Axial view; 240x240 px
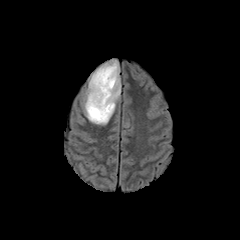
FLAIR MR.
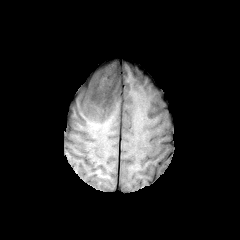
T1-weighted magnetic resonance.
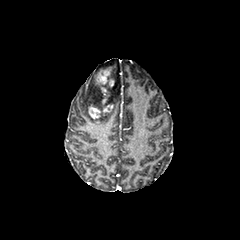
Post-contrast T1-weighted MR.
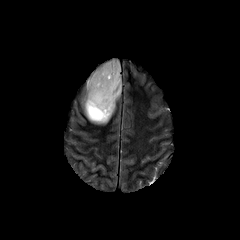
T2-weighted MR image.
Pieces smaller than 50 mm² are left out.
Annotated regions:
- peritumoral edema: bbox=[83, 60, 121, 124]
- enhancing tumor: bbox=[88, 104, 113, 118]; bbox=[94, 65, 116, 104]